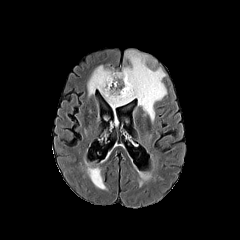
FLAIR MRI.
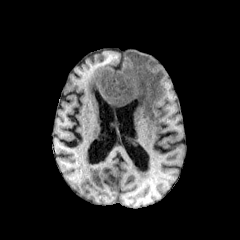
T1-weighted MRI of the same slice.
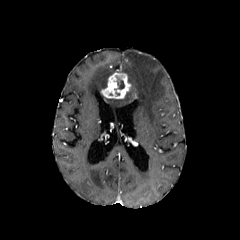
Post-contrast T1-weighted MRI.
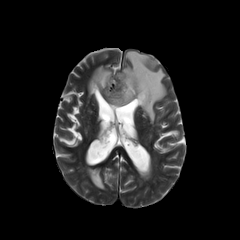
T2-weighted MRI of the same slice.
Brain
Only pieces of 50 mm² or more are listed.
Findings:
• peritumoral edema: bbox=[87, 64, 113, 96]; bbox=[87, 167, 105, 189]; bbox=[106, 50, 166, 121]
• necrotic tumor core: bbox=[117, 78, 124, 89]
• enhancing tumor: bbox=[101, 72, 131, 98]